FLAIR MRI.
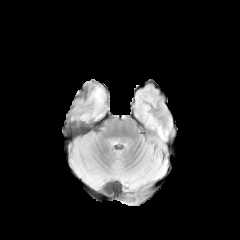
T1-weighted MRI.
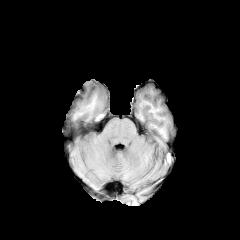
Post-contrast T1-weighted magnetic resonance.
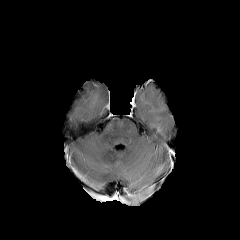
T2-weighted MRI.
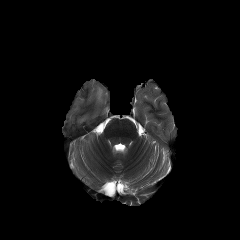
240x240 px. Axial slice.
peritumoral_edema:
  - [94,87,103,104]